Axial plane
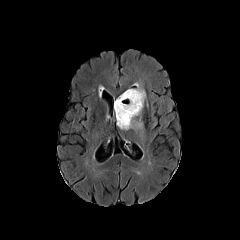
FLAIR MR image.
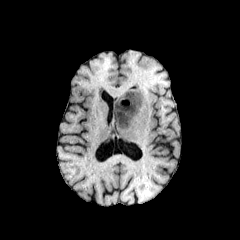
T1-weighted MRI.
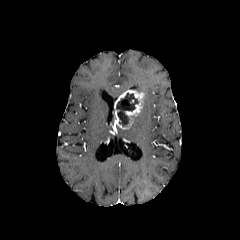
Same slice, post-contrast T1-weighted MR image.
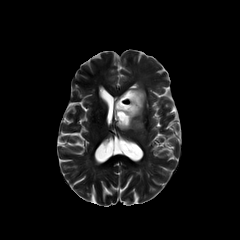
T2-weighted magnetic resonance.
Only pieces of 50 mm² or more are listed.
Findings:
• enhancing tumor: (114,90,144,129)
• peritumoral edema: (130,109,143,130), (129,82,145,100)
• necrotic tumor core: (116,93,138,126)